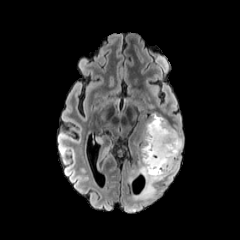
FLAIR MR image.
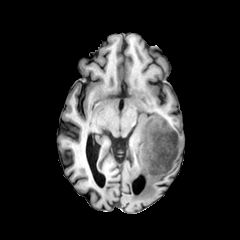
T1-weighted magnetic resonance.
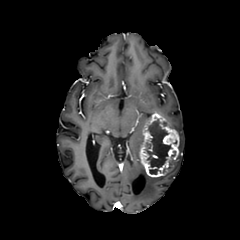
Post-contrast T1-weighted magnetic resonance of the same slice.
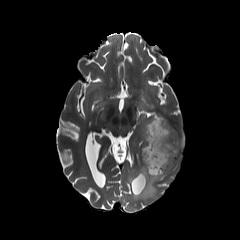
T2-weighted MR of the same slice.
Axial slice
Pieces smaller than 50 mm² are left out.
The largest necrotic tumor core region is located at bbox=[144, 119, 170, 174]. The largest enhancing tumor region is at bbox=[139, 112, 179, 177]. The largest peritumoral edema region is at bbox=[129, 120, 183, 199].